Image width 240 mm | Axial plane | Head | Slice index 68
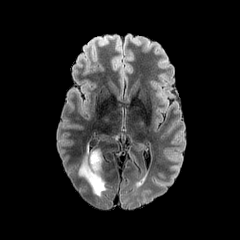
FLAIR MR image.
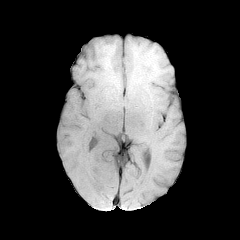
T1-weighted MRI.
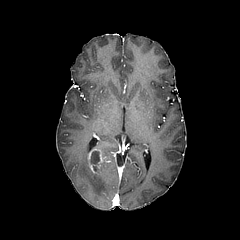
Post-contrast T1-weighted MR of the same slice.
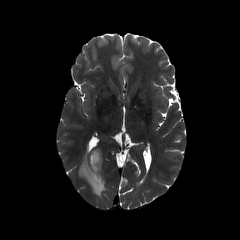
Same slice, T2-weighted magnetic resonance.
Annotated regions:
* necrotic tumor core: rect(90, 151, 99, 170)
* peritumoral edema: rect(78, 146, 106, 196)
* enhancing tumor: rect(88, 149, 104, 173)